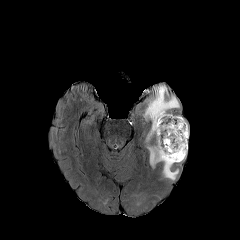
FLAIR MR.
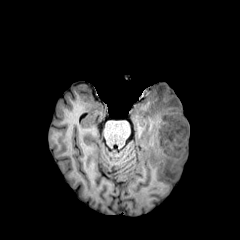
T1-weighted MRI.
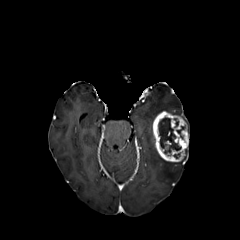
Same slice, post-contrast T1-weighted MR image.
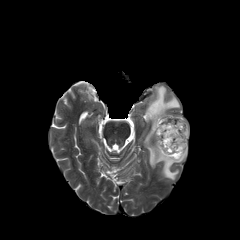
Same slice, T2-weighted magnetic resonance.
240x240 px; Axial view
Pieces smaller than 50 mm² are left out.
necrotic tumor core: 159 118 181 153 | enhancing tumor: 152 111 188 162 | peritumoral edema: 148 146 178 179, 145 86 179 124